FLAIR MRI.
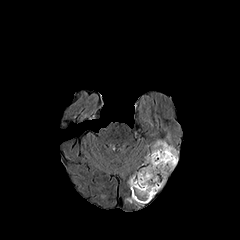
T1-weighted MR image.
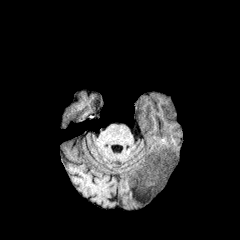
Post-contrast T1-weighted MR image.
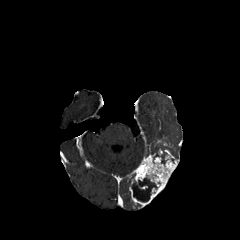
T2-weighted MRI.
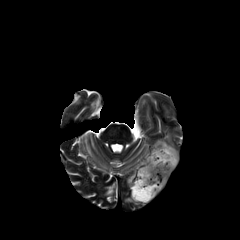
Brain; Axial slice
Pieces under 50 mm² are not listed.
The largest enhancing tumor region lies within (128,140,178,207). The 2 largest peritumoral edema regions are bounded by (146,141,162,155), (167,135,178,158). The largest necrotic tumor core region is located at (132,178,157,201).